FLAIR magnetic resonance.
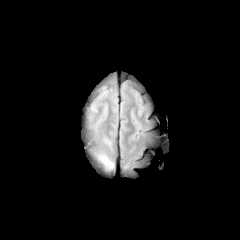
T1-weighted MR image.
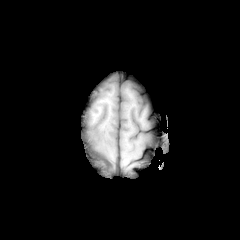
Post-contrast T1-weighted MR image.
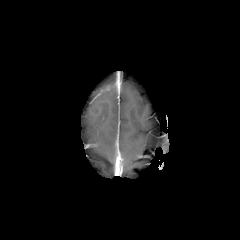
T2-weighted MR image.
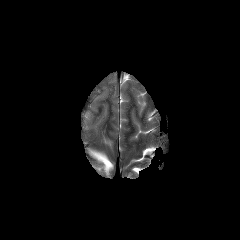
Axial view. Head.
Annotated regions:
• peritumoral edema: x1=95, y1=153, x2=112, y2=169